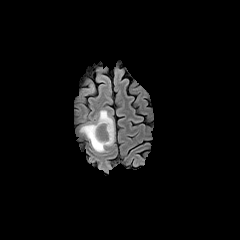
FLAIR MRI.
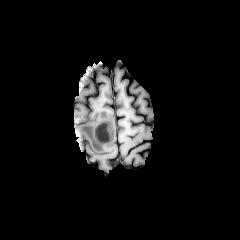
T1-weighted MR image of the same slice.
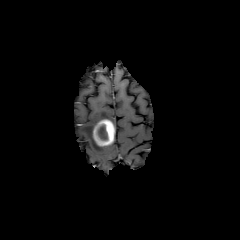
Post-contrast T1-weighted MRI.
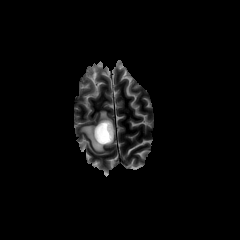
T2-weighted MR.
Image size 240x240
peritumoral edema = box=[81, 79, 95, 94]; box=[80, 110, 115, 152]
necrotic tumor core = box=[98, 125, 107, 140]
enhancing tumor = box=[93, 119, 114, 146]